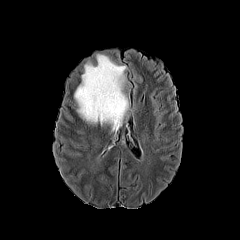
FLAIR MR.
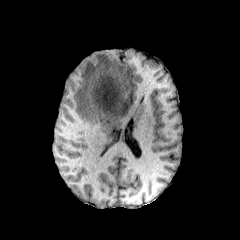
Same slice, T1-weighted MR image.
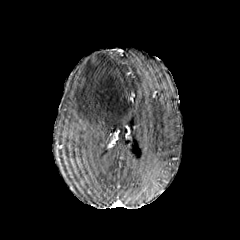
Post-contrast T1-weighted magnetic resonance.
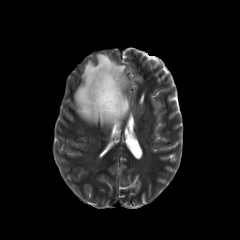
T2-weighted MRI.
Axial view; Head
peritumoral edema — 74:54:128:129